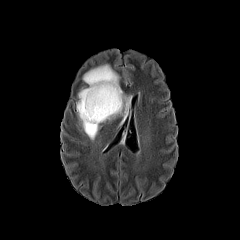
FLAIR MR.
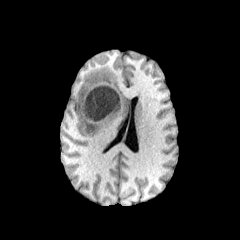
T1-weighted MR.
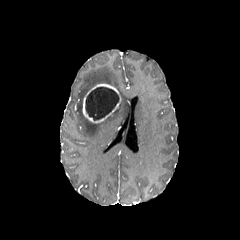
Post-contrast T1-weighted MR image.
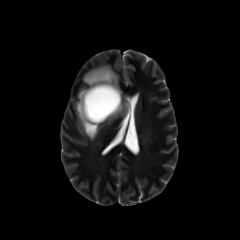
T2-weighted MRI.
Head
• peritumoral edema: (x1=76, y1=62, x2=131, y2=140)
• enhancing tumor: (x1=82, y1=83, x2=121, y2=123)
• necrotic tumor core: (x1=85, y1=87, x2=119, y2=120)